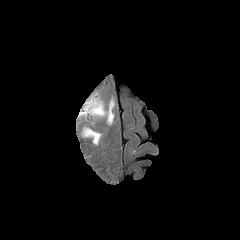
FLAIR MR image.
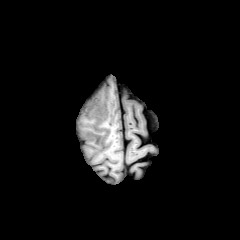
T1-weighted MR of the same slice.
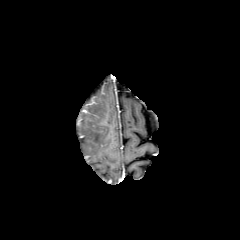
Post-contrast T1-weighted MR image of the same slice.
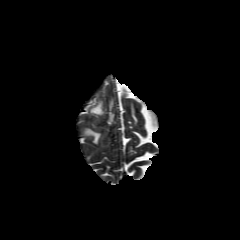
T2-weighted magnetic resonance.
Head.
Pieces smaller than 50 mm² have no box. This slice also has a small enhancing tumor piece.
2 peritumoral edema regions are located at l=83, t=128, r=101, b=144; l=80, t=98, r=113, b=124.